Brain, Slice 101/155, Axial view
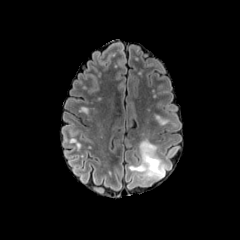
FLAIR MRI.
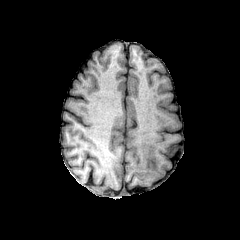
T1-weighted magnetic resonance.
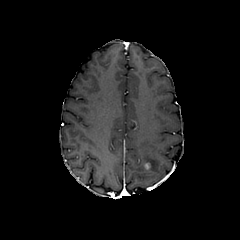
Post-contrast T1-weighted MR.
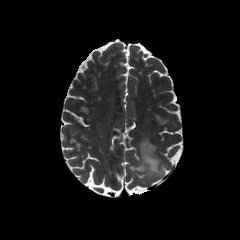
T2-weighted MR of the same slice.
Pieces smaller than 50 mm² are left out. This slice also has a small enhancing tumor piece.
peritumoral edema — [129, 139, 168, 180]